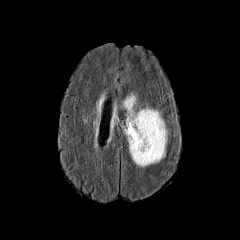
FLAIR MRI.
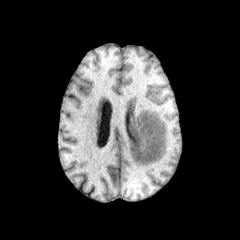
T1-weighted MR of the same slice.
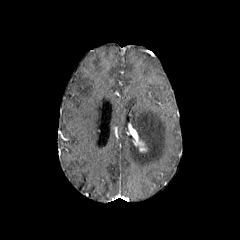
Post-contrast T1-weighted magnetic resonance.
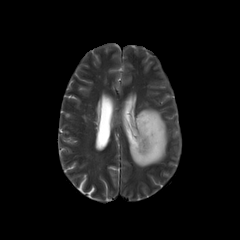
Same slice, T2-weighted magnetic resonance.
Axial view, 240x240 px
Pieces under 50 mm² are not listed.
The enhancing tumor is at (left=126, top=123, right=147, bottom=152). The largest peritumoral edema region is at (left=124, top=95, right=167, bottom=166).